FLAIR MRI.
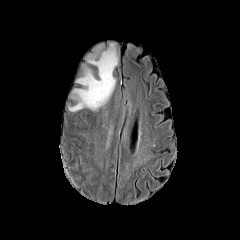
T1-weighted MRI.
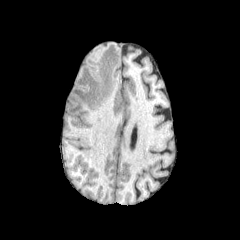
Post-contrast T1-weighted magnetic resonance.
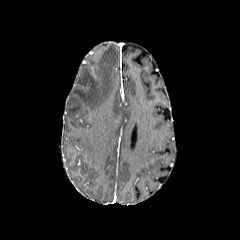
T2-weighted MR image.
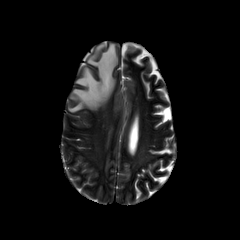
Head | Axial plane
peritumoral_edema:
  - bbox=[68, 44, 117, 111]